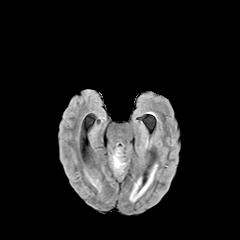
FLAIR MRI.
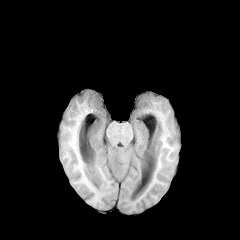
T1-weighted MR image.
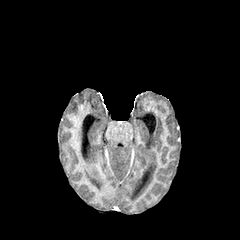
Same slice, post-contrast T1-weighted magnetic resonance.
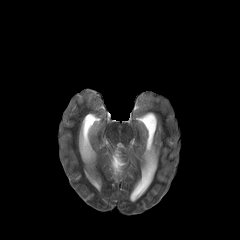
T2-weighted MR image of the same slice.
240x240; Axial slice; Head
{
  "peritumoral_edema": [
    "l=111, t=148, r=125, b=174"
  ]
}